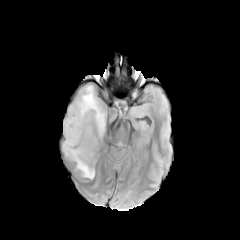
FLAIR magnetic resonance.
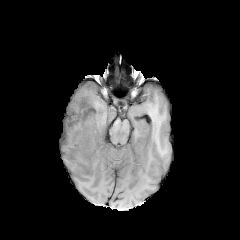
T1-weighted magnetic resonance.
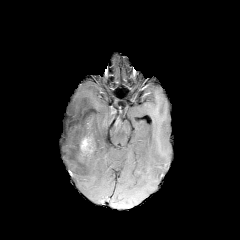
Post-contrast T1-weighted MR image.
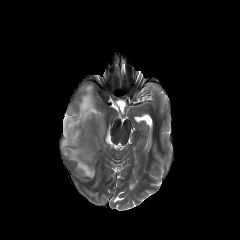
T2-weighted MR image.
Axial slice. Brain. 240x240.
The peritumoral edema appears at <bbox>62, 84, 105, 179</bbox>. The enhancing tumor is bounded by <bbox>80, 133, 94, 156</bbox>.